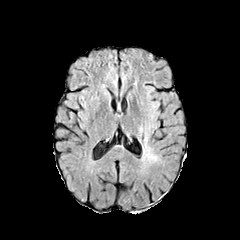
FLAIR MRI.
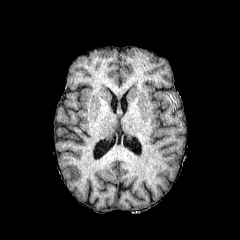
Same slice, T1-weighted MR image.
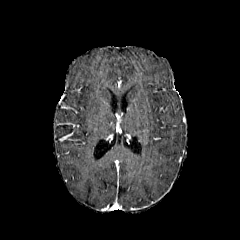
Same slice, post-contrast T1-weighted MR image.
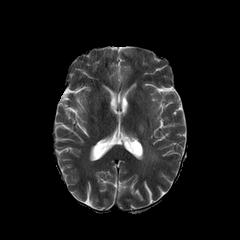
T2-weighted magnetic resonance.
peritumoral edema: bbox(143, 149, 156, 159)